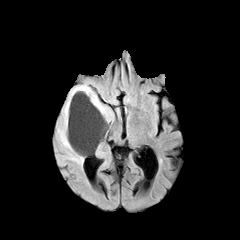
FLAIR MR.
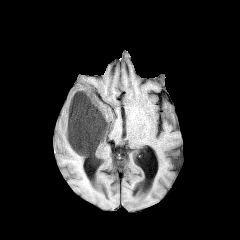
T1-weighted MR image.
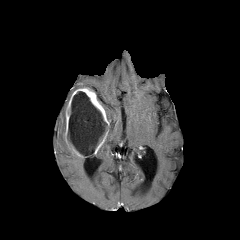
Post-contrast T1-weighted magnetic resonance.
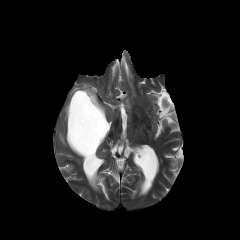
Same slice, T2-weighted MRI.
Brain; Axial plane
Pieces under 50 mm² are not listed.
<segmentation>
  <peritumoral_edema>left=57, top=83, right=92, bottom=163; left=101, top=103, right=113, bottom=127</peritumoral_edema>
  <enhancing_tumor>left=64, top=87, right=109, bottom=156</enhancing_tumor>
  <necrotic_tumor_core>left=67, top=91, right=107, bottom=155</necrotic_tumor_core>
</segmentation>